FLAIR MRI.
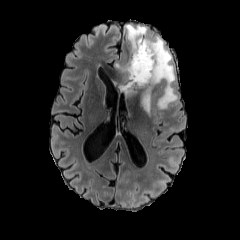
T1-weighted MR image.
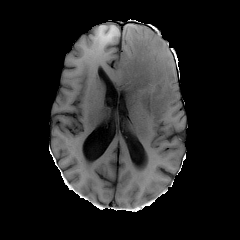
Post-contrast T1-weighted MRI.
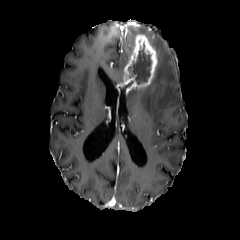
T2-weighted magnetic resonance.
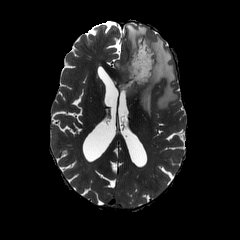
Head. 240x240 px. Axial slice.
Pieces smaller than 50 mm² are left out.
The 2 largest peritumoral edema regions are bounded by 126:23:177:116, 115:61:127:74. The enhancing tumor lies within 120:33:159:91. The necrotic tumor core lies within 128:44:151:84.